Brain | Slice 112 of 155
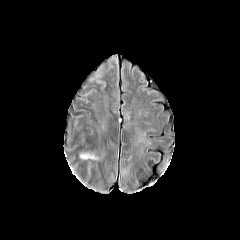
FLAIR MR.
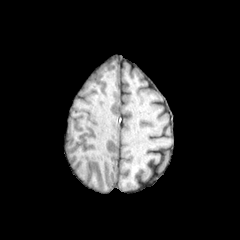
Same slice, T1-weighted MR.
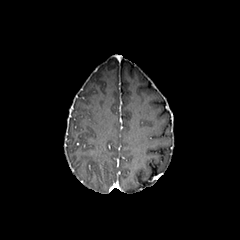
Post-contrast T1-weighted MR image.
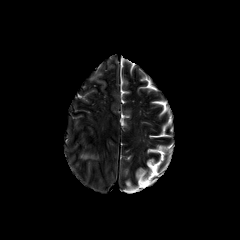
T2-weighted MR image.
Findings:
- peritumoral edema: [80,154,96,159]